Axial plane | Slice 72/155 | Brain
FLAIR MRI.
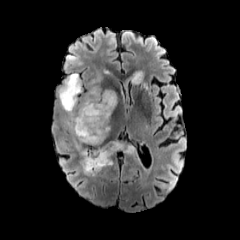
T1-weighted MRI.
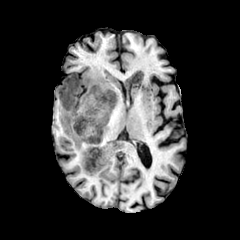
Post-contrast T1-weighted MR.
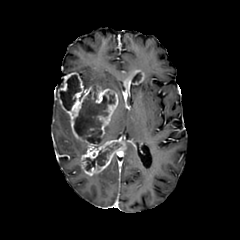
T2-weighted MR.
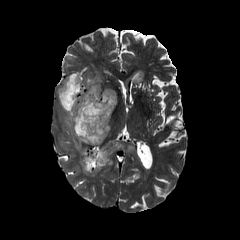
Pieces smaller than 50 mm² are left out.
{"peritumoral_edema": ["(x1=120, y1=145, x2=134, y2=153)", "(x1=64, y1=114, x2=71, y2=132)", "(x1=73, y1=135, x2=86, y2=155)", "(x1=99, y1=125, x2=110, y2=144)", "(x1=89, y1=73, x2=101, y2=85)"], "necrotic_tumor_core": ["(x1=132, y1=72, x2=141, y2=82)", "(x1=85, y1=143, x2=121, y2=170)", "(x1=59, y1=75, x2=80, y2=110)", "(x1=74, y1=85, x2=114, y2=144)"], "enhancing_tumor": ["(x1=95, y1=85, x2=118, y2=137)", "(x1=58, y1=72, x2=125, y2=175)", "(x1=129, y1=70, x2=144, y2=84)"]}